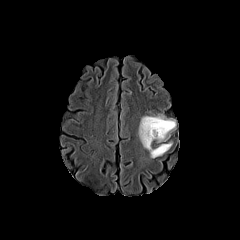
FLAIR MRI.
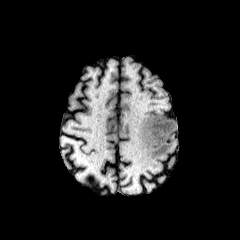
T1-weighted magnetic resonance of the same slice.
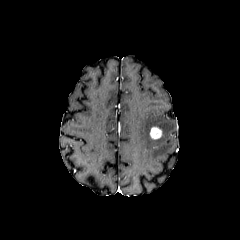
Post-contrast T1-weighted magnetic resonance.
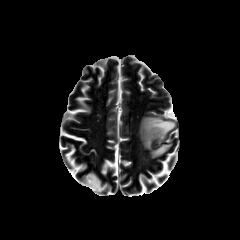
T2-weighted MRI.
Head
The peritumoral edema is bounded by box(138, 114, 175, 158). The enhancing tumor appears at box(150, 126, 162, 139).